Axial plane | Slice 116 of 155 | Image covers 240 mm x 240 mm
FLAIR MR.
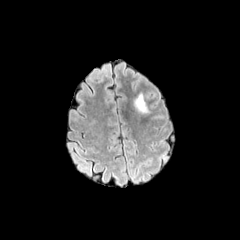
T1-weighted MRI.
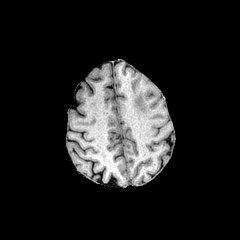
Post-contrast T1-weighted MR.
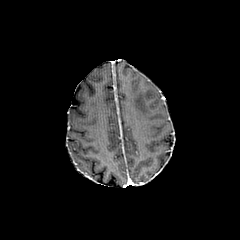
T2-weighted MR image.
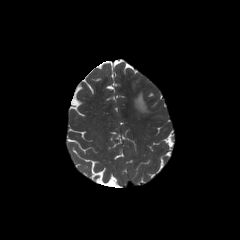
peritumoral edema at left=135, top=94, right=148, bottom=113